Slice index 46
FLAIR MRI.
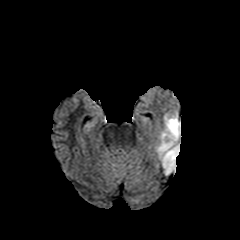
T1-weighted MRI.
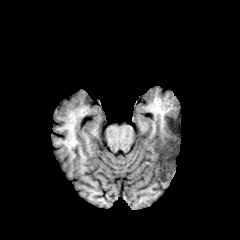
Post-contrast T1-weighted MRI.
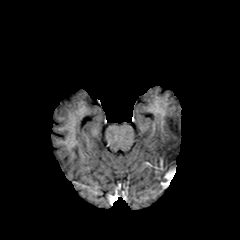
T2-weighted MR image.
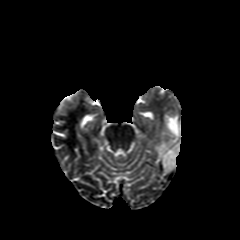
{"peritumoral_edema": ["<bbox>155, 112, 180, 172</bbox>"]}